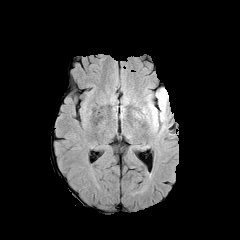
FLAIR MR image.
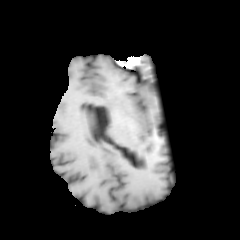
T1-weighted MR image.
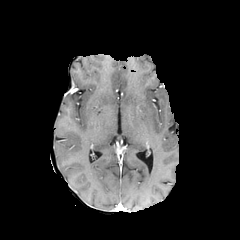
Same slice, post-contrast T1-weighted MRI.
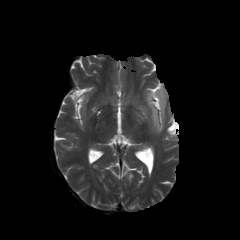
T2-weighted MR image.
Head
The peritumoral edema lies within left=134, top=89, right=164, bottom=132.